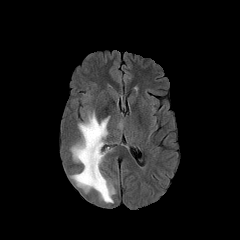
FLAIR magnetic resonance.
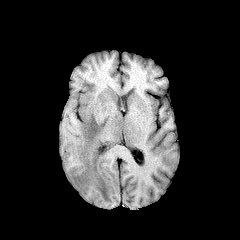
T1-weighted magnetic resonance.
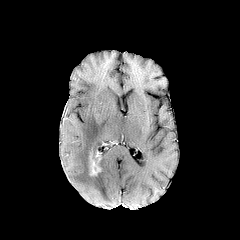
Post-contrast T1-weighted magnetic resonance.
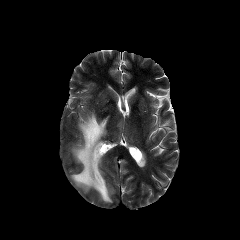
T2-weighted MR.
Brain
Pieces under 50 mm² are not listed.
enhancing tumor = l=89, t=150, r=100, b=175
peritumoral edema = l=71, t=112, r=115, b=202